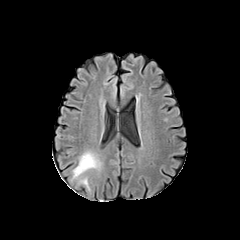
FLAIR MR image.
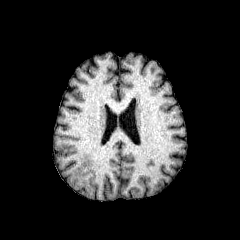
T1-weighted MRI of the same slice.
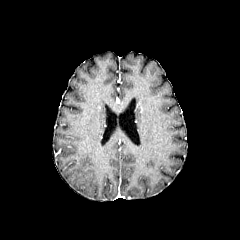
Post-contrast T1-weighted magnetic resonance of the same slice.
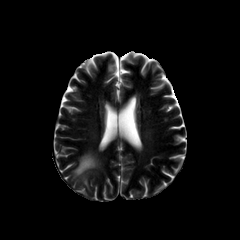
T2-weighted MR image.
Axial view, Image size 240x240
Segmented structures:
- peritumoral edema: l=73, t=152, r=99, b=176